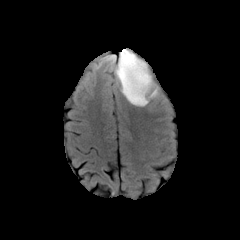
FLAIR magnetic resonance.
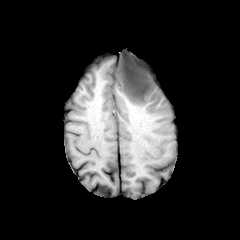
T1-weighted MR.
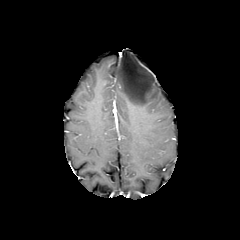
Post-contrast T1-weighted MRI.
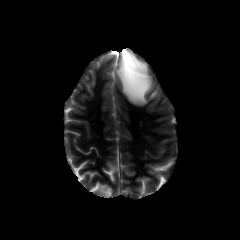
T2-weighted MR image of the same slice.
Head, 240x240 px
The peritumoral edema is located at rect(115, 49, 158, 106).